FLAIR magnetic resonance.
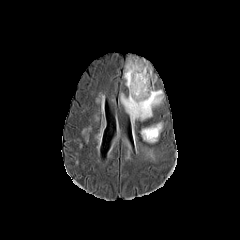
T1-weighted MRI.
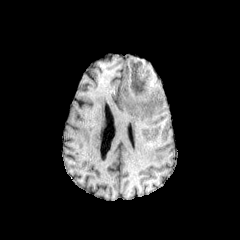
Post-contrast T1-weighted magnetic resonance.
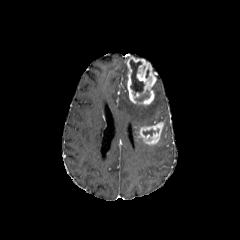
T2-weighted MR image.
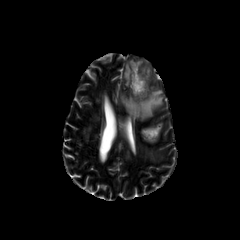
240x240 px
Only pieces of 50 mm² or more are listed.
3 peritumoral edema regions are bounded by {"x1": 123, "y1": 66, "x2": 127, "y2": 86}, {"x1": 139, "y1": 146, "x2": 154, "y2": 160}, {"x1": 120, "y1": 86, "x2": 163, "y2": 121}. The 3 largest necrotic tumor core regions appear at {"x1": 143, "y1": 129, "x2": 155, "y2": 136}, {"x1": 135, "y1": 90, "x2": 149, "y2": 101}, {"x1": 129, "y1": 59, "x2": 144, "y2": 94}. 2 enhancing tumor regions are bounded by {"x1": 126, "y1": 55, "x2": 156, "y2": 105}, {"x1": 139, "y1": 122, "x2": 163, "y2": 144}.